FLAIR MR image.
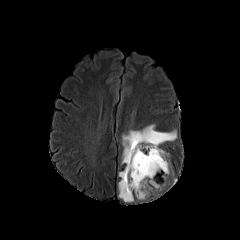
T1-weighted MR image.
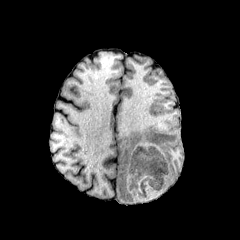
Post-contrast T1-weighted MRI.
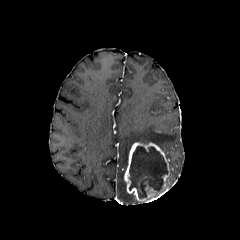
T2-weighted MR image.
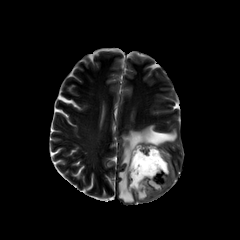
Image size 240x240
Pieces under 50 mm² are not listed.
{
  "peritumoral_edema": [
    "x1=121, y1=124, x2=176, y2=167",
    "x1=118, y1=168, x2=133, y2=202"
  ],
  "necrotic_tumor_core": [
    "x1=129, y1=146, x2=167, y2=198"
  ],
  "enhancing_tumor": [
    "x1=124, y1=142, x2=171, y2=202"
  ]
}